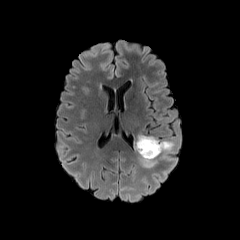
FLAIR MR image.
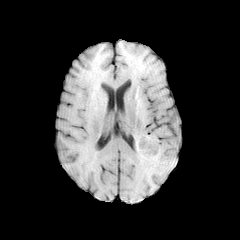
T1-weighted MR image.
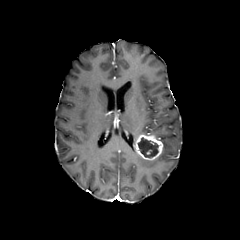
Same slice, post-contrast T1-weighted MR image.
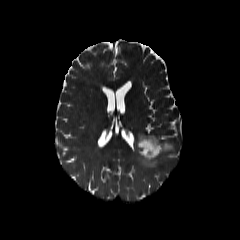
T2-weighted MR of the same slice.
Brain; Axial plane
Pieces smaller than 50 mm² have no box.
enhancing tumor = x1=135, y1=134, x2=163, y2=160
peritumoral edema = x1=137, y1=153, x2=157, y2=168; x1=160, y1=140, x2=173, y2=158
necrotic tumor core = x1=138, y1=137, x2=158, y2=157